FLAIR MRI.
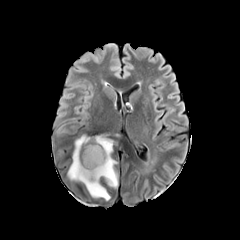
T1-weighted MRI.
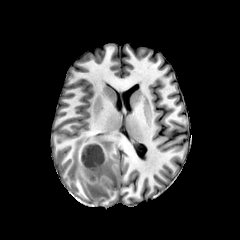
Post-contrast T1-weighted MR image.
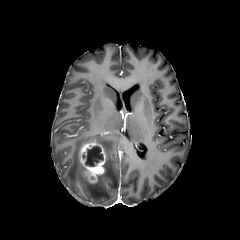
T2-weighted MR.
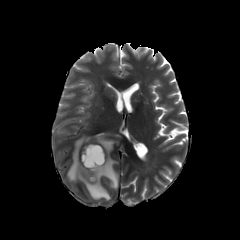
Axial slice.
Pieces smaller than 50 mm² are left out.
The necrotic tumor core is located at 82 146 103 166. The enhancing tumor is at 80 142 105 183. The largest peritumoral edema region is bounded by 67 134 118 200.